FLAIR MR image.
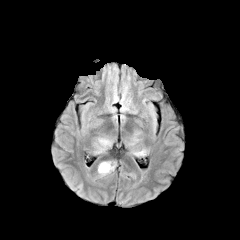
T1-weighted MRI.
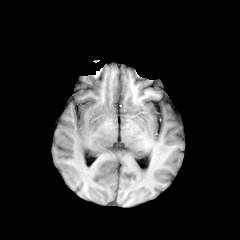
Post-contrast T1-weighted MR.
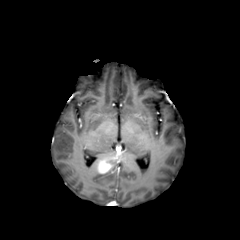
T2-weighted MR image.
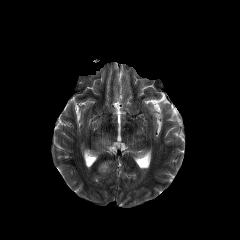
Axial plane, Head, 240x240
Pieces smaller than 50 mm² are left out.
enhancing tumor — 97, 161, 112, 173
peritumoral edema — 99, 138, 110, 147